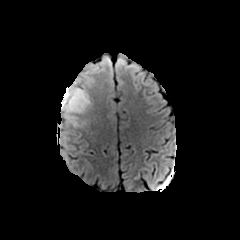
FLAIR MRI.
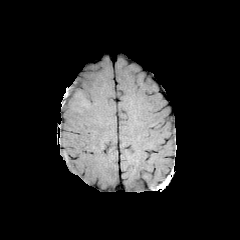
Same slice, T1-weighted MR.
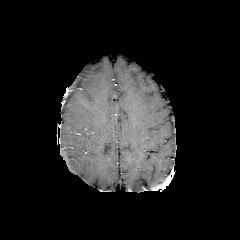
Post-contrast T1-weighted MR image of the same slice.
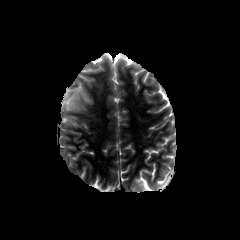
T2-weighted MR image of the same slice.
Brain | Axial view
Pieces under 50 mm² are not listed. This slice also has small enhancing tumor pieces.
peritumoral edema: bounding box rect(60, 86, 90, 128)